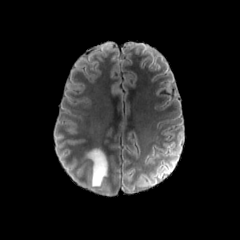
FLAIR MR image.
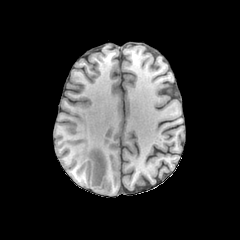
T1-weighted MRI.
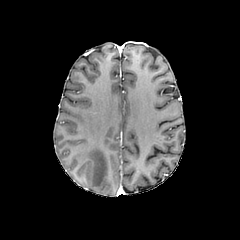
Post-contrast T1-weighted magnetic resonance.
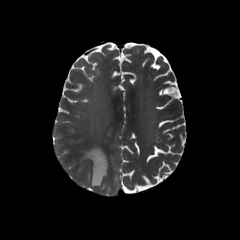
T2-weighted MR image.
Axial slice
<segmentation>
  <peritumoral_edema>[x1=87, y1=149, x2=107, y2=186]</peritumoral_edema>
</segmentation>